Image size 240x240 | Brain
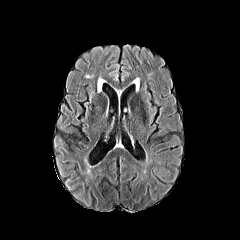
FLAIR magnetic resonance.
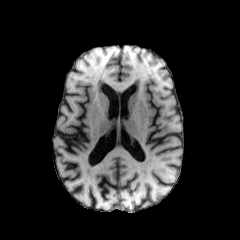
T1-weighted magnetic resonance.
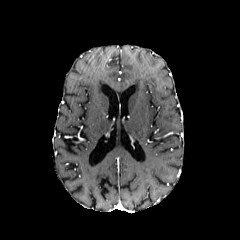
Post-contrast T1-weighted MRI.
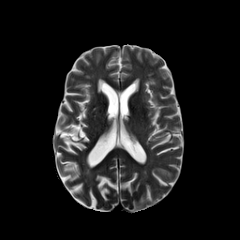
Same slice, T2-weighted MRI.
peritumoral edema: bounding box x1=98, y1=78, x2=104, y2=91